FLAIR MR image.
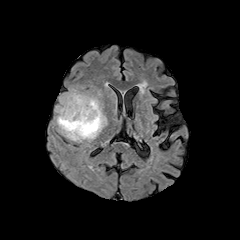
T1-weighted MR image.
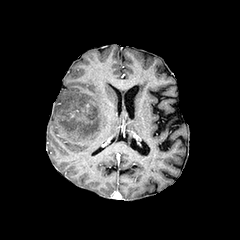
Post-contrast T1-weighted MR image.
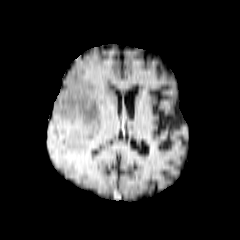
T2-weighted MR image.
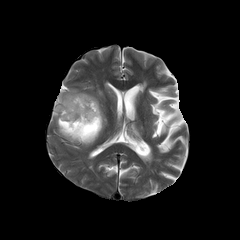
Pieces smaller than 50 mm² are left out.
The largest peritumoral edema region is located at bbox=[55, 89, 107, 143]. The necrotic tumor core lies within bbox=[59, 116, 99, 136].